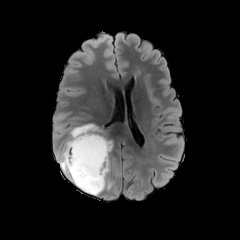
FLAIR MRI.
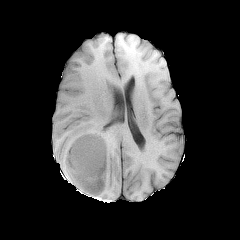
T1-weighted MR image.
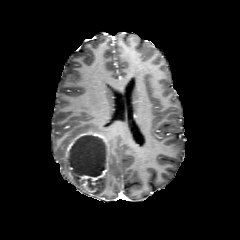
Post-contrast T1-weighted magnetic resonance.
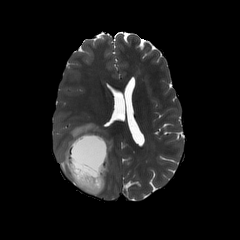
Same slice, T2-weighted MRI.
Head, 240x240 px
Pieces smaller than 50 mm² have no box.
<segmentation>
  <necrotic_tumor_core>87:178:102:189, 69:136:105:176</necrotic_tumor_core>
  <peritumoral_edema>106:140:112:173, 95:177:112:195, 55:123:101:181</peritumoral_edema>
  <enhancing_tumor>62:133:107:195</enhancing_tumor>
</segmentation>